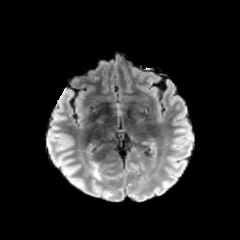
FLAIR MR image.
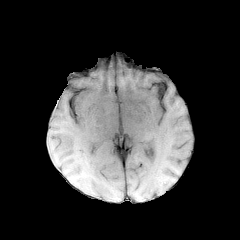
Same slice, T1-weighted MRI.
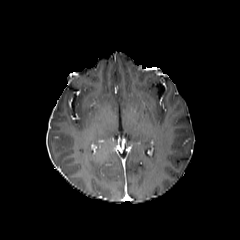
Post-contrast T1-weighted MR image.
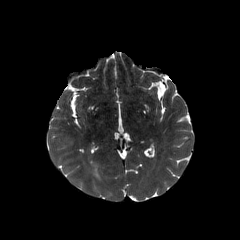
T2-weighted MR image.
Image size 240x240
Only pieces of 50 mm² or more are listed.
<segmentation>
  <peritumoral_edema>91, 161, 101, 180</peritumoral_edema>
</segmentation>